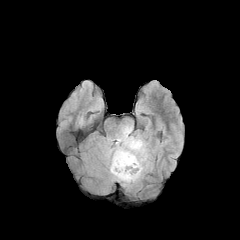
FLAIR MR.
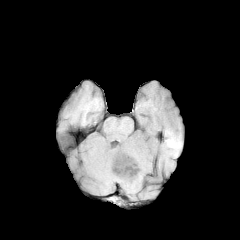
T1-weighted MRI of the same slice.
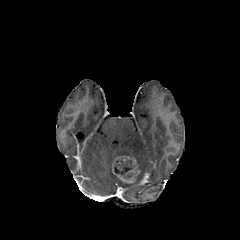
Same slice, post-contrast T1-weighted MR image.
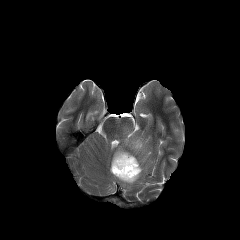
T2-weighted MR image.
Head
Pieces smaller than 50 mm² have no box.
{
  "peritumoral_edema": [
    "103:124:151:187"
  ],
  "enhancing_tumor": [
    "112:155:140:182"
  ],
  "necrotic_tumor_core": [
    "114:159:132:176"
  ]
}